Axial slice
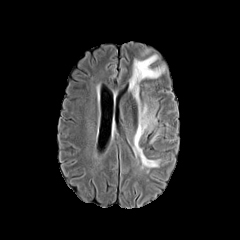
FLAIR MRI.
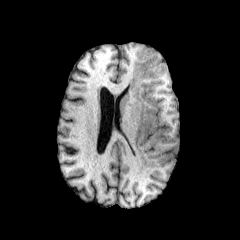
T1-weighted MRI.
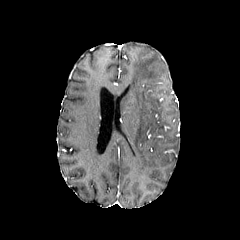
Post-contrast T1-weighted MRI of the same slice.
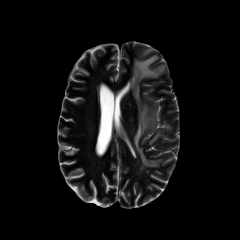
T2-weighted MR of the same slice.
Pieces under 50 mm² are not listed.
peritumoral edema: {"x1": 129, "y1": 55, "x2": 164, "y2": 167}